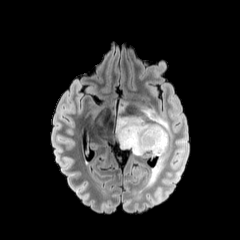
FLAIR MR image.
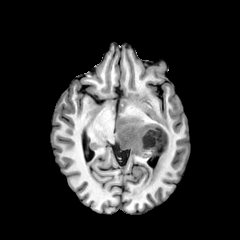
Same slice, T1-weighted MR image.
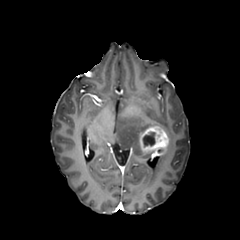
Same slice, post-contrast T1-weighted MR image.
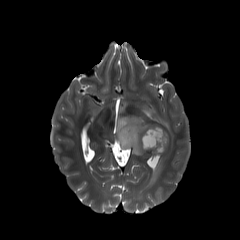
T2-weighted magnetic resonance.
Head. Axial view.
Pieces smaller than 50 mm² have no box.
Findings:
• enhancing tumor: [x1=139, y1=126, x2=168, y2=156]
• peritumoral edema: [x1=145, y1=144, x2=168, y2=187], [x1=119, y1=101, x2=128, y2=111], [x1=116, y1=107, x2=170, y2=155]
• necrotic tumor core: [x1=143, y1=132, x2=155, y2=146]